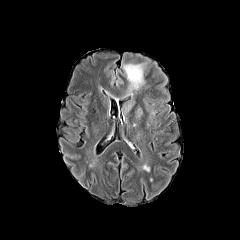
FLAIR MR image.
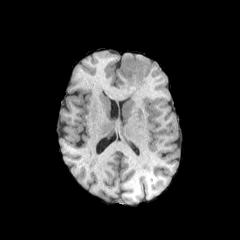
T1-weighted MR.
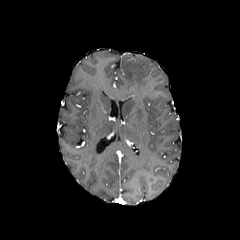
Post-contrast T1-weighted magnetic resonance.
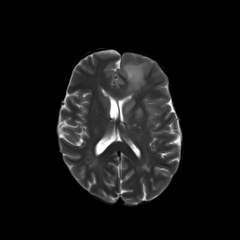
T2-weighted MR image.
Image size 240x240 | Axial slice
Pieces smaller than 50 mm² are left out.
The 3 largest peritumoral edema regions are bounded by box(121, 99, 135, 115); box(134, 106, 143, 119); box(122, 63, 145, 91).